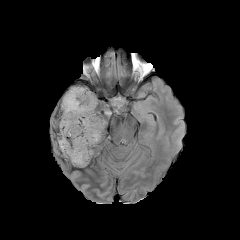
FLAIR MR.
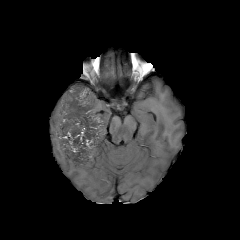
T1-weighted magnetic resonance.
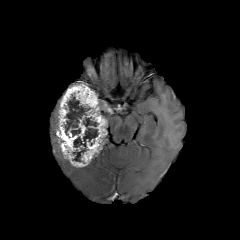
Post-contrast T1-weighted MR of the same slice.
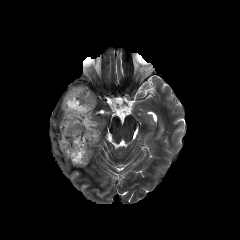
T2-weighted magnetic resonance.
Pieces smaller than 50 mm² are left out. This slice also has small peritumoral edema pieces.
enhancing tumor: <box>57,84,106,166</box> | necrotic tumor core: <box>65,95,90,135</box>, <box>72,117,98,161</box>, <box>71,128,80,136</box>